FLAIR MR image.
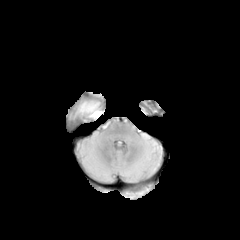
T1-weighted magnetic resonance.
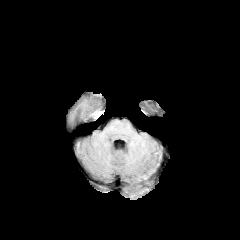
Post-contrast T1-weighted MRI.
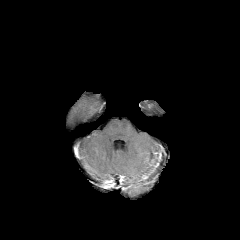
T2-weighted MR.
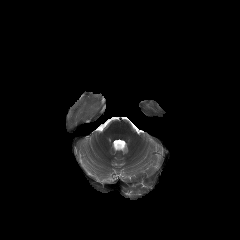
peritumoral edema: l=70, t=100, r=98, b=120